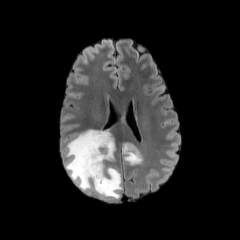
FLAIR MR image.
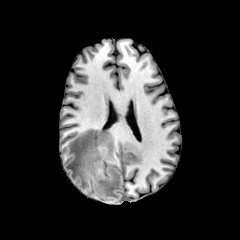
Same slice, T1-weighted MRI.
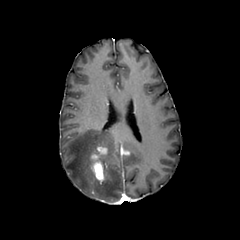
Same slice, post-contrast T1-weighted MRI.
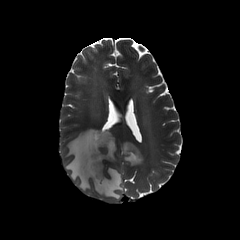
T2-weighted magnetic resonance of the same slice.
Head; 240x240
peritumoral edema: 65,129,122,199; 122,143,142,165
enhancing tumor: 121,148,130,155; 90,146,107,182